Axial view. Head.
FLAIR magnetic resonance.
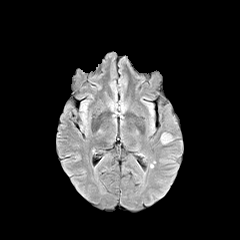
T1-weighted MR image.
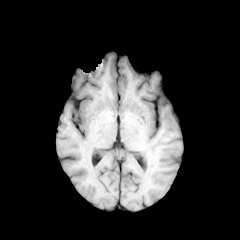
Post-contrast T1-weighted magnetic resonance.
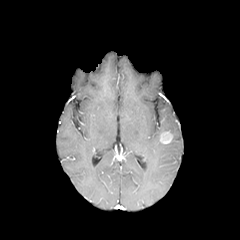
T2-weighted magnetic resonance.
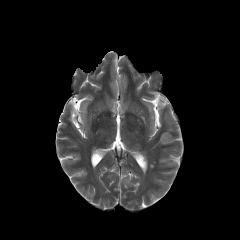
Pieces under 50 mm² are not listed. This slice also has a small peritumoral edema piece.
The enhancing tumor is bounded by 160,132,172,143.